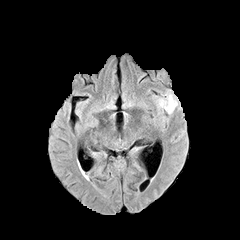
FLAIR MR image.
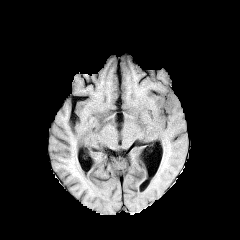
Same slice, T1-weighted MRI.
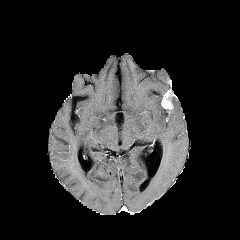
Post-contrast T1-weighted MR.
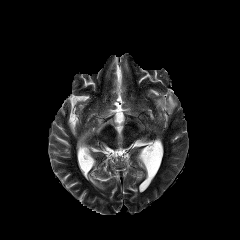
T2-weighted MR image.
Brain
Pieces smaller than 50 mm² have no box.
enhancing tumor at [161, 89, 175, 111]
peritumoral edema at [166, 97, 177, 113]